FLAIR magnetic resonance.
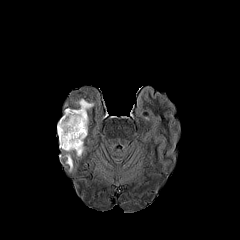
T1-weighted MRI.
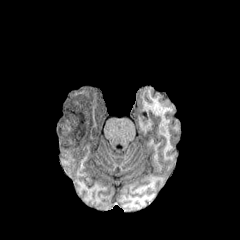
Post-contrast T1-weighted MRI.
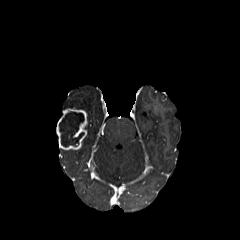
T2-weighted magnetic resonance.
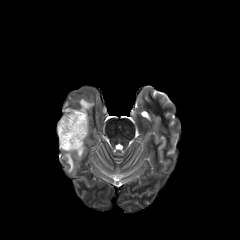
Brain; Axial slice; 240x240 px
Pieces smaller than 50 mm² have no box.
enhancing_tumor:
  - (57,108,87,150)
necrotic_tumor_core:
  - (59,111,84,147)
peritumoral_edema:
  - (65,150,73,171)
  - (75,141,85,157)
  - (76,99,94,112)